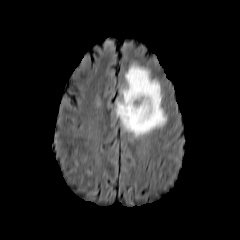
FLAIR MRI.
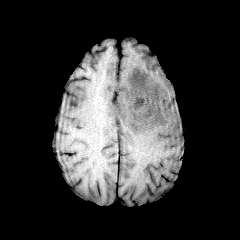
Same slice, T1-weighted magnetic resonance.
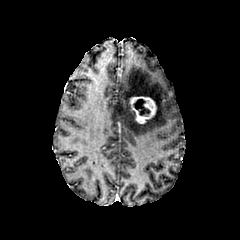
Post-contrast T1-weighted magnetic resonance of the same slice.
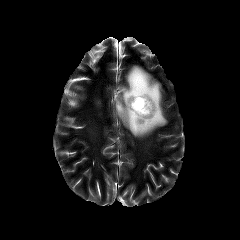
T2-weighted MR image of the same slice.
Axial plane, 240x240, Brain
The peritumoral edema is at {"x1": 115, "y1": 64, "x2": 166, "y2": 137}. The necrotic tumor core appears at {"x1": 133, "y1": 99, "x2": 149, "y2": 115}. The enhancing tumor lies within {"x1": 129, "y1": 96, "x2": 156, "y2": 123}.